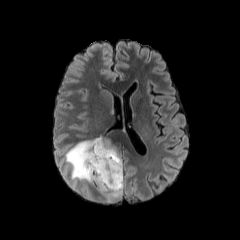
FLAIR MRI.
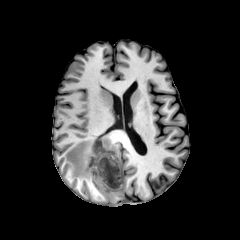
T1-weighted MR image of the same slice.
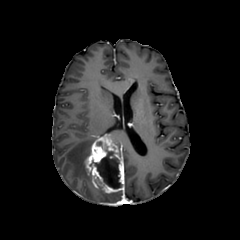
Post-contrast T1-weighted MR image of the same slice.
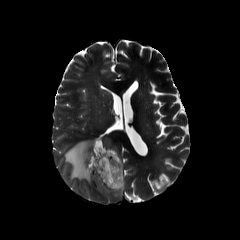
T2-weighted MR image of the same slice.
Image size 240x240
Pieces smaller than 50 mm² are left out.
The largest necrotic tumor core region lies within <box>95,149,121,188</box>. The largest enhancing tumor region is bounded by <box>85,135,124,193</box>. The 2 largest peritumoral edema regions appear at <box>65,137,96,184</box>, <box>98,188,122,199</box>.